Slice index 65, Brain
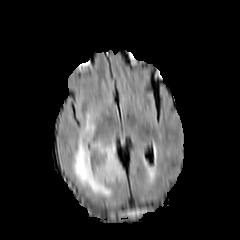
FLAIR magnetic resonance.
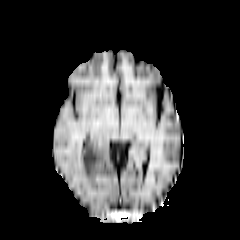
T1-weighted MR image.
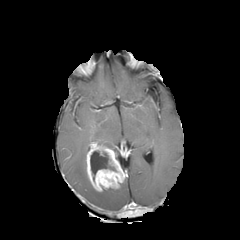
Same slice, post-contrast T1-weighted MR.
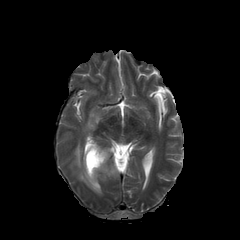
T2-weighted magnetic resonance.
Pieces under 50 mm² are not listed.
The enhancing tumor is bounded by 85,141,125,191. The necrotic tumor core lies within 90,151,110,180. The 2 largest peritumoral edema regions are bounded by 72,116,111,197; 98,140,114,147.